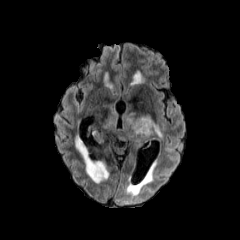
FLAIR magnetic resonance.
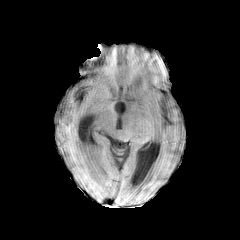
T1-weighted MR image.
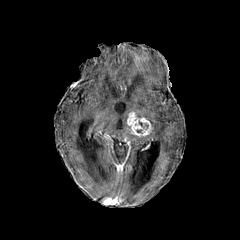
Post-contrast T1-weighted MR.
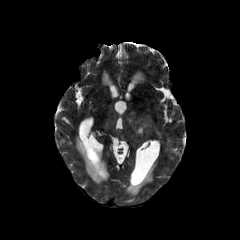
T2-weighted magnetic resonance.
240x240 px | Brain
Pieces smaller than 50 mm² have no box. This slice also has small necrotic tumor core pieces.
The enhancing tumor is at [126,113,152,137]. The 2 largest peritumoral edema regions are located at [103,107,141,139], [137,114,161,136].